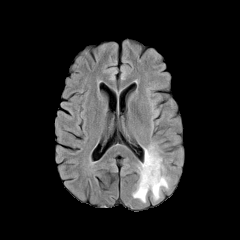
FLAIR MR image.
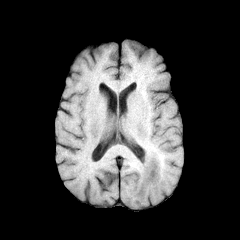
T1-weighted MR.
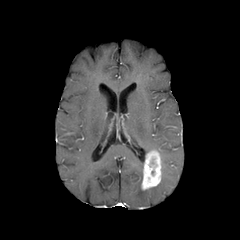
Post-contrast T1-weighted MR.
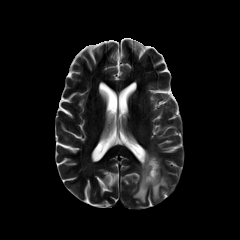
T2-weighted magnetic resonance.
Image size 240x240
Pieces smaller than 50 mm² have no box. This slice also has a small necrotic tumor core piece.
The enhancing tumor lies within l=141, t=150, r=161, b=190. 2 peritumoral edema regions are located at l=132, t=157, r=170, b=202; l=144, t=143, r=158, b=158.